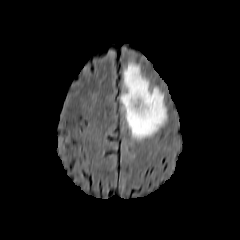
FLAIR MR.
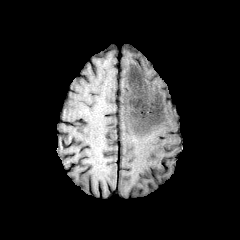
T1-weighted magnetic resonance.
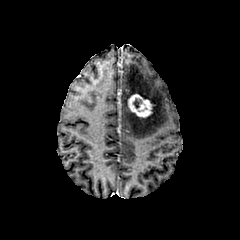
Post-contrast T1-weighted MR image.
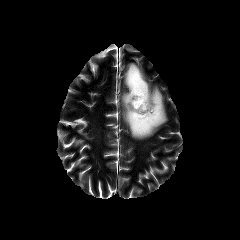
Same slice, T2-weighted MR image.
Image size 240x240. Brain. Axial plane.
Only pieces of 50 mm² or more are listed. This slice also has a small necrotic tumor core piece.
peritumoral_edema:
  - (121, 62, 167, 139)
enhancing_tumor:
  - (128, 94, 153, 117)